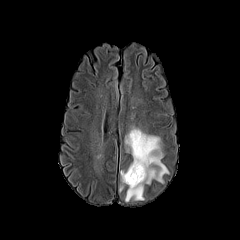
FLAIR MR.
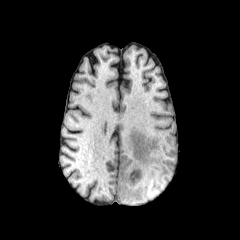
Same slice, T1-weighted MRI.
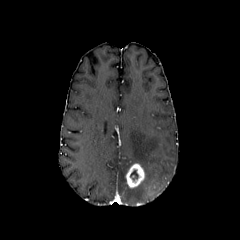
Post-contrast T1-weighted MRI.
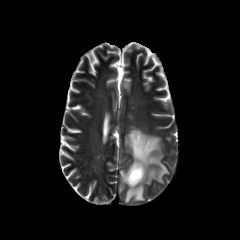
T2-weighted MR image of the same slice.
Axial slice
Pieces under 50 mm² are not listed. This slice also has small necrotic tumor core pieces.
Segmented structures:
* peritumoral edema: l=125, t=127, r=168, b=202; l=119, t=170, r=126, b=192
* enhancing tumor: l=125, t=163, r=145, b=188